Slice 84 of 155. Image width 240 mm.
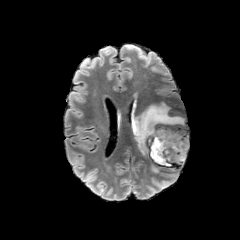
FLAIR MRI.
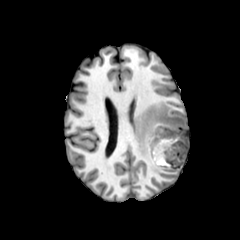
Same slice, T1-weighted MRI.
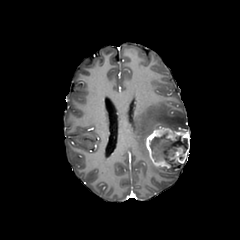
Post-contrast T1-weighted MR image.
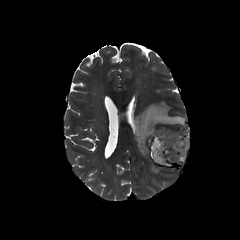
T2-weighted MR image of the same slice.
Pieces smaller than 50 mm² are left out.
peritumoral edema: bounding box 150, 163, 161, 172; 131, 100, 187, 155
necrotic tumor core: bounding box 149, 133, 187, 165
enhancing tumor: bounding box 146, 125, 189, 167